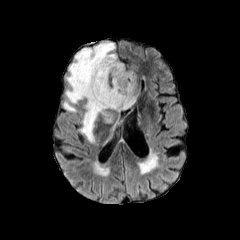
FLAIR MR image.
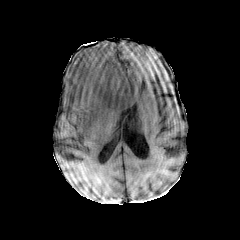
T1-weighted MR of the same slice.
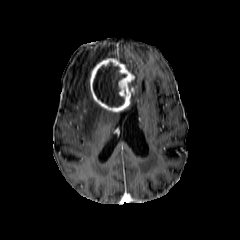
Post-contrast T1-weighted MRI.
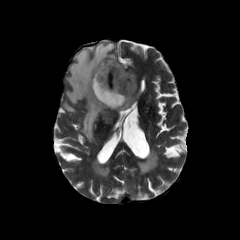
T2-weighted magnetic resonance of the same slice.
Brain
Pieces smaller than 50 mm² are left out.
Findings:
* peritumoral edema: 63:42:117:141, 131:76:136:104
* enhancing tumor: 89:58:134:112
* necrotic tumor core: 93:63:125:106